Image width 240 mm. Brain. Slice 58/155.
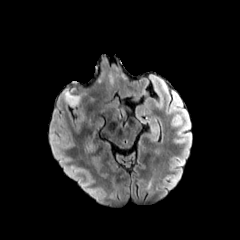
FLAIR magnetic resonance.
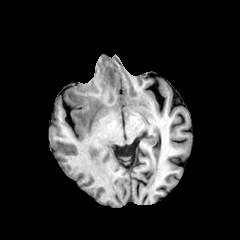
Same slice, T1-weighted magnetic resonance.
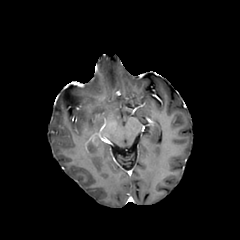
Same slice, post-contrast T1-weighted MRI.
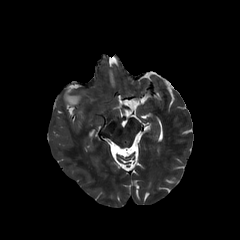
T2-weighted magnetic resonance.
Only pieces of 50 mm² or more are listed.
Segmented structures:
* peritumoral edema: box=[64, 90, 80, 106]; box=[109, 71, 114, 84]